FLAIR MR image.
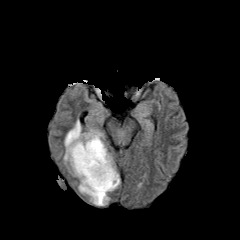
T1-weighted MR.
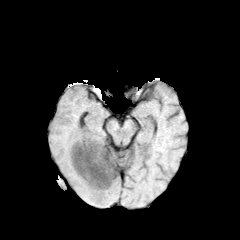
Post-contrast T1-weighted MRI.
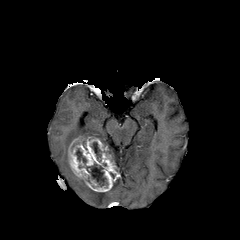
T2-weighted MRI.
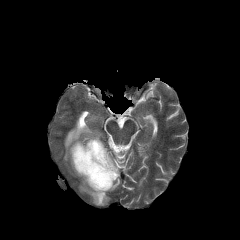
240x240 | Brain
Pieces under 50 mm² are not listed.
The largest enhancing tumor region appears at {"x1": 68, "y1": 137, "x2": 119, "y2": 192}. The 3 largest necrotic tumor core regions are bounded by {"x1": 91, "y1": 142, "x2": 100, "y2": 158}, {"x1": 86, "y1": 164, "x2": 107, "y2": 186}, {"x1": 76, "y1": 149, "x2": 86, "y2": 163}. The 3 largest peritumoral edema regions are located at {"x1": 63, "y1": 119, "x2": 104, "y2": 164}, {"x1": 78, "y1": 178, "x2": 109, "y2": 205}, {"x1": 108, "y1": 177, "x2": 120, "y2": 191}.